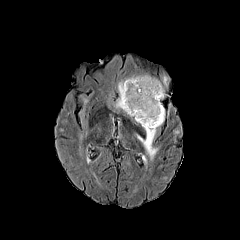
FLAIR MR.
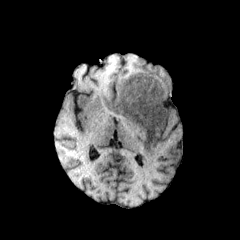
T1-weighted MRI.
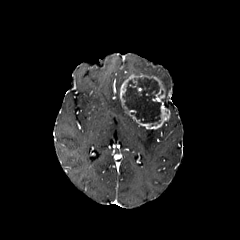
Post-contrast T1-weighted MR.
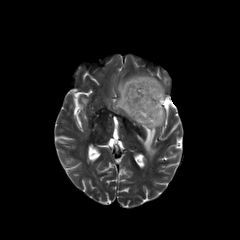
Same slice, T2-weighted MRI.
Axial view; Brain; 240x240 px
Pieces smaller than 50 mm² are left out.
necrotic_tumor_core:
  - 123,78,161,123
enhancing_tumor:
  - 119,74,169,129
peritumoral_edema:
  - 137,127,157,159
  - 114,96,124,111
  - 162,76,168,86